FLAIR MR image.
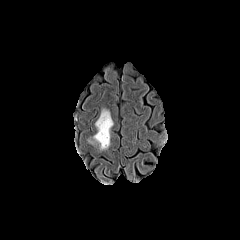
T1-weighted MRI.
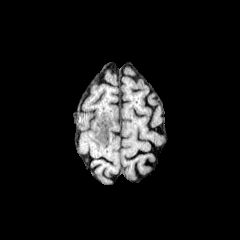
Post-contrast T1-weighted MRI.
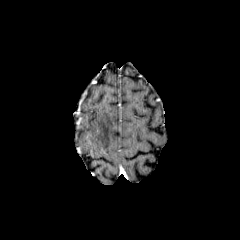
T2-weighted magnetic resonance.
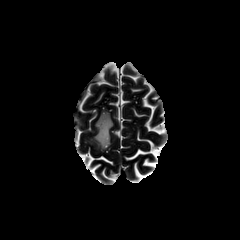
Axial slice | Head
peritumoral edema: x1=93 y1=109 x2=113 y2=149